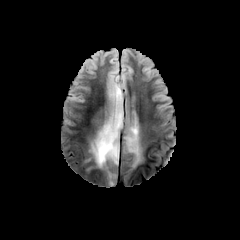
FLAIR MRI.
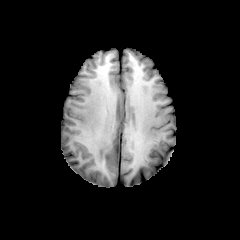
Same slice, T1-weighted MR.
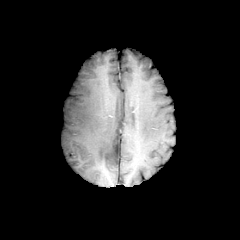
Post-contrast T1-weighted MR image.
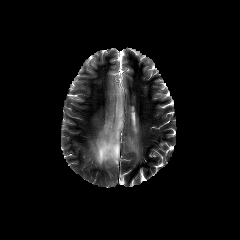
Same slice, T2-weighted MR.
Brain
<segmentation>
  <peritumoral_edema>(90,109,122,166), (127,126,139,156)</peritumoral_edema>
</segmentation>